Brain.
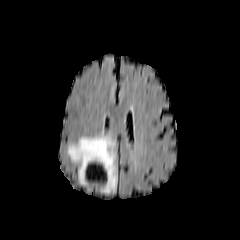
FLAIR MR image.
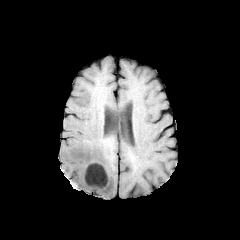
T1-weighted magnetic resonance.
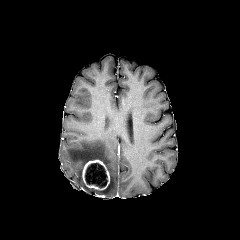
Post-contrast T1-weighted MR image of the same slice.
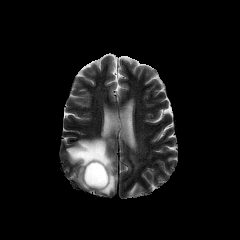
T2-weighted magnetic resonance.
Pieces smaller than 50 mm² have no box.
necrotic_tumor_core:
  - [85, 163, 107, 187]
peritumoral_edema:
  - [67, 133, 117, 194]
enhancing_tumor:
  - [82, 159, 110, 190]